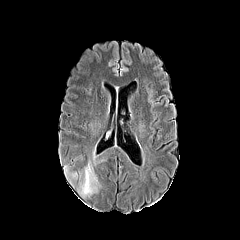
FLAIR MR image.
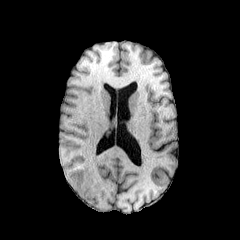
T1-weighted MR image of the same slice.
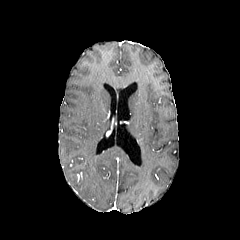
Post-contrast T1-weighted magnetic resonance of the same slice.
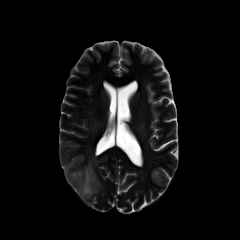
T2-weighted MRI.
Head; Axial plane; 240x240
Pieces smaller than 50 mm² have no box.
peritumoral edema = bbox(79, 162, 99, 197)